FLAIR MR.
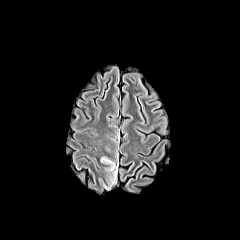
T1-weighted magnetic resonance.
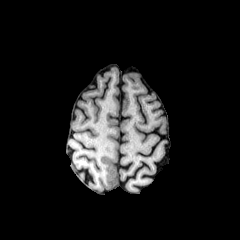
Post-contrast T1-weighted MR image.
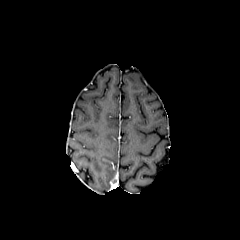
T2-weighted MRI.
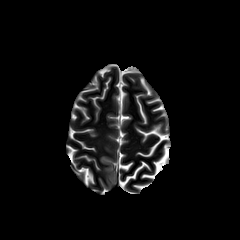
Brain | Axial view
peritumoral edema: 100,157,117,181